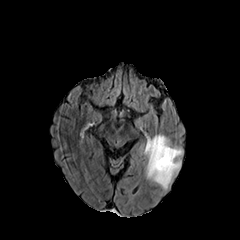
FLAIR MRI.
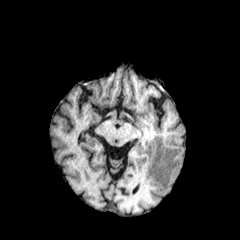
T1-weighted magnetic resonance.
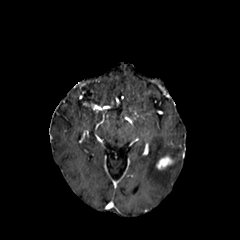
Same slice, post-contrast T1-weighted MR image.
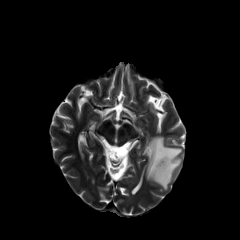
T2-weighted MR image.
Brain. Axial slice. 240x240 px.
The enhancing tumor is bounded by box=[156, 155, 173, 169]. The peritumoral edema appears at box=[146, 135, 182, 190].